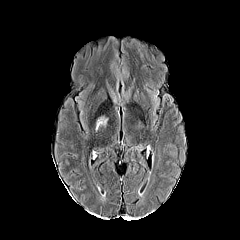
FLAIR MR.
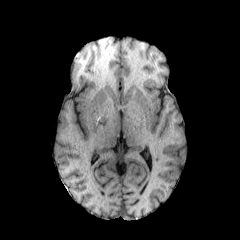
T1-weighted MR.
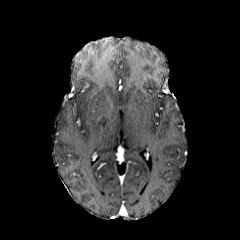
Post-contrast T1-weighted MR image.
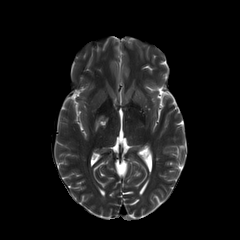
T2-weighted magnetic resonance.
Image size 240x240
{
  "peritumoral_edema": [
    "(95,118,106,130)"
  ]
}